FLAIR MR.
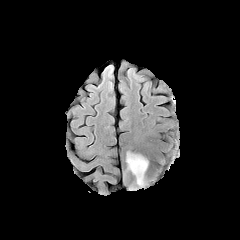
T1-weighted MR.
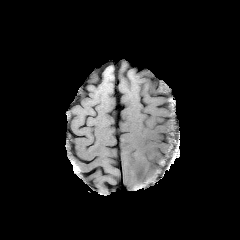
Post-contrast T1-weighted MRI.
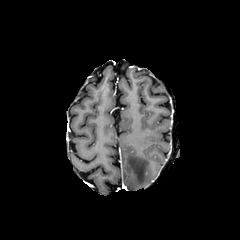
T2-weighted MRI.
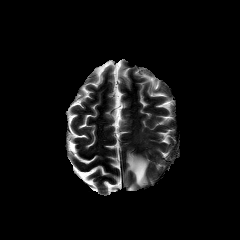
Axial view. Brain.
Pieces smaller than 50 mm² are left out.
peritumoral_edema:
  - bbox=[126, 152, 148, 186]